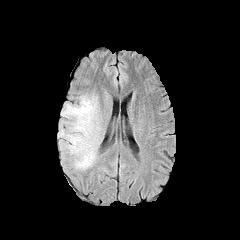
FLAIR magnetic resonance.
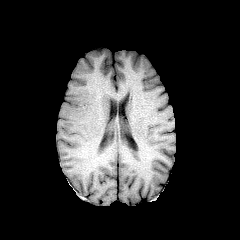
T1-weighted MR image.
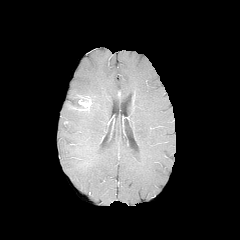
Post-contrast T1-weighted MR.
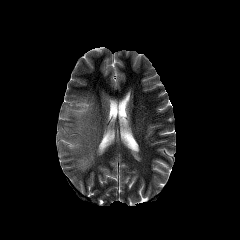
Same slice, T2-weighted MRI.
Head.
The peritumoral edema is bounded by region(58, 95, 99, 170).